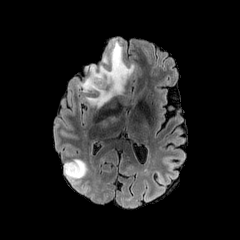
FLAIR MR image.
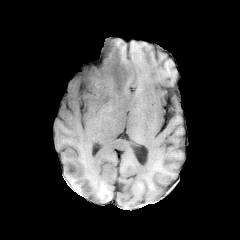
T1-weighted MRI.
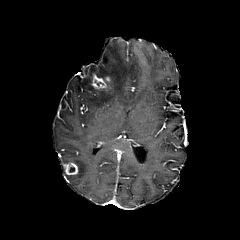
Same slice, post-contrast T1-weighted MR.
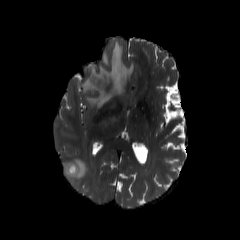
T2-weighted magnetic resonance.
Head; Axial slice
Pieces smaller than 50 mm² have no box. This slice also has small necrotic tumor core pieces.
enhancing_tumor:
  - l=91, t=74, r=110, b=89
  - l=65, t=164, r=76, b=174
peritumoral_edema:
  - l=64, t=159, r=87, b=178
  - l=75, t=40, r=133, b=107